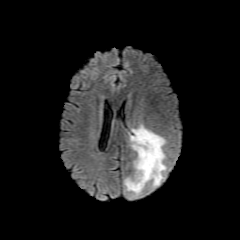
FLAIR magnetic resonance.
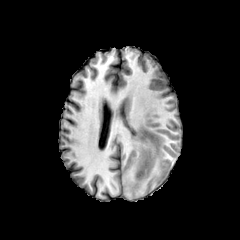
T1-weighted magnetic resonance of the same slice.
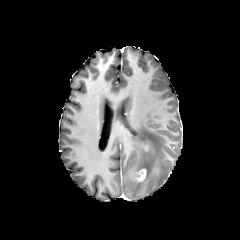
Same slice, post-contrast T1-weighted MR.
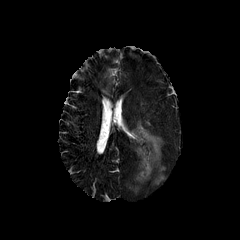
Same slice, T2-weighted MRI.
Axial slice, Head
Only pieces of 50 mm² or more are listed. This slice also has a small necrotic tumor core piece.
{
  "enhancing_tumor": [
    "(135,169,146,181)"
  ],
  "peritumoral_edema": [
    "(124,123,166,195)"
  ]
}